Axial slice.
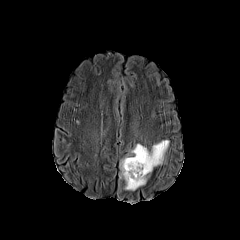
FLAIR magnetic resonance.
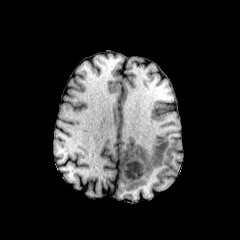
T1-weighted MR image.
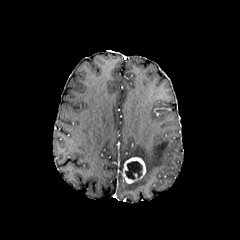
Post-contrast T1-weighted MR.
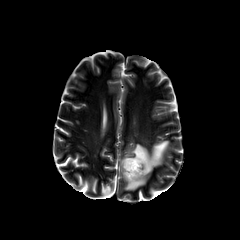
T2-weighted MR image of the same slice.
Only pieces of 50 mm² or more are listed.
enhancing tumor: x1=121 y1=157 x2=146 y2=183
necrotic tumor core: x1=125 y1=161 x2=142 y2=179
peritumoral edema: x1=120 y1=140 x2=169 y2=190